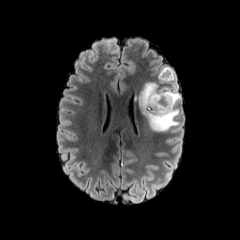
FLAIR magnetic resonance.
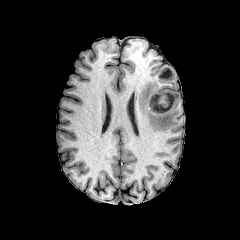
T1-weighted MRI.
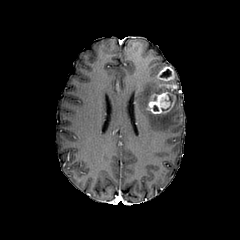
Same slice, post-contrast T1-weighted MR image.
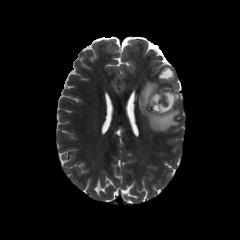
T2-weighted MRI.
Axial plane; 240x240
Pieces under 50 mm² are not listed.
enhancing tumor: (x1=145, y1=91, x2=175, y2=115), (x1=164, y1=84, x2=177, y2=90), (x1=158, y1=66, x2=174, y2=81) | necrotic tumor core: (x1=160, y1=69, x2=171, y2=78) | peritumoral edema: (x1=137, y1=70, x2=180, y2=131)